Axial plane. Slice 56/155.
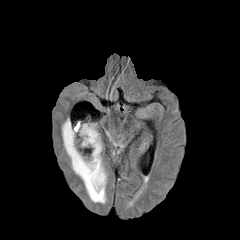
FLAIR MR.
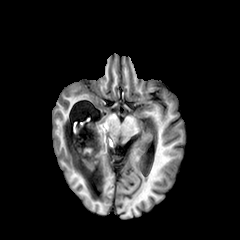
T1-weighted MR of the same slice.
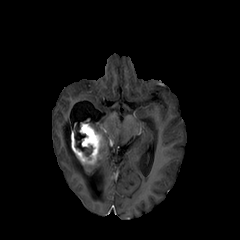
Post-contrast T1-weighted MR of the same slice.
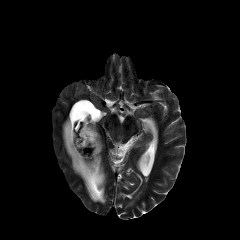
T2-weighted MRI.
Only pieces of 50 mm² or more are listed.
necrotic tumor core — (x1=74, y1=128, x2=92, y2=156)
peritumoral edema — (x1=62, y1=118, x2=107, y2=203)
enhancing tumor — (x1=70, y1=123, x2=103, y2=173)